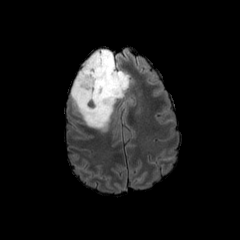
FLAIR MRI.
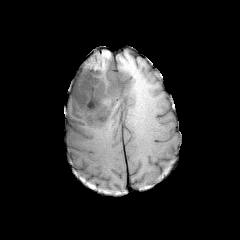
T1-weighted MRI.
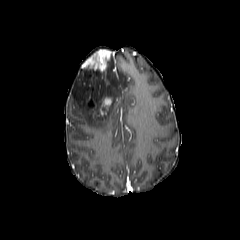
Same slice, post-contrast T1-weighted magnetic resonance.
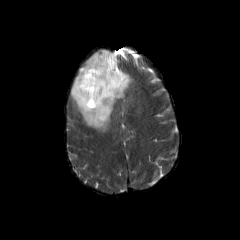
T2-weighted magnetic resonance.
Axial plane. 240x240.
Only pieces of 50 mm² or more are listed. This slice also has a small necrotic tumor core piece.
peritumoral edema = l=70, t=53, r=129, b=131
enhancing tumor = l=98, t=97, r=111, b=116; l=88, t=97, r=98, b=109; l=83, t=49, r=111, b=72